Head
FLAIR MR.
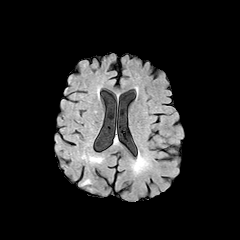
T1-weighted MR image.
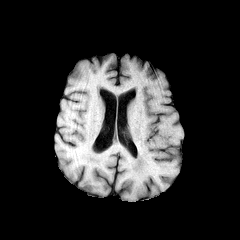
Post-contrast T1-weighted MRI.
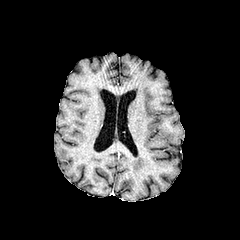
T2-weighted magnetic resonance.
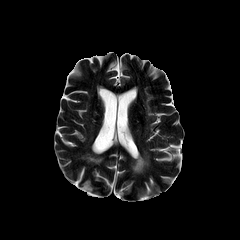
{"peritumoral_edema": ["bbox(133, 155, 149, 172)"]}